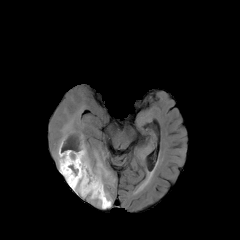
FLAIR MR image.
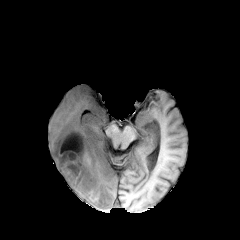
Same slice, T1-weighted MR image.
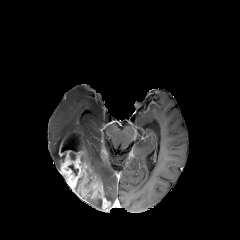
Post-contrast T1-weighted MR.
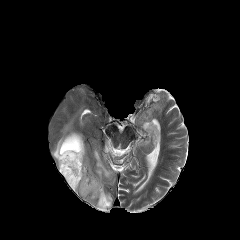
T2-weighted MRI.
240x240, Axial view
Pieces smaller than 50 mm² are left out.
necrotic tumor core: [x1=61, y1=133, x2=82, y2=152], [x1=68, y1=164, x2=78, y2=175] | peritumoral edema: [x1=52, y1=115, x2=83, y2=168], [x1=82, y1=133, x2=115, y2=206], [x1=86, y1=197, x2=101, y2=208] | enhancing tumor: [x1=58, y1=126, x2=110, y2=210]